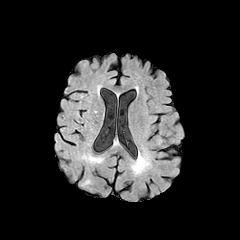
FLAIR MR image.
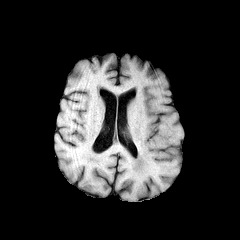
T1-weighted magnetic resonance of the same slice.
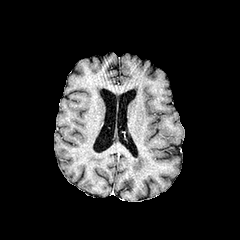
Post-contrast T1-weighted MR image.
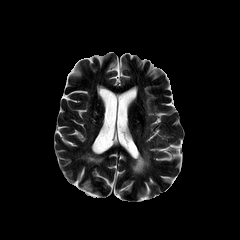
T2-weighted MR of the same slice.
240x240 px | Axial view
peritumoral_edema:
  - 132,151,150,173